FLAIR magnetic resonance.
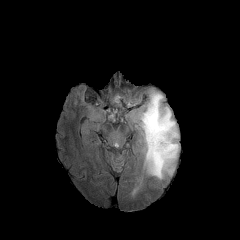
T1-weighted MR.
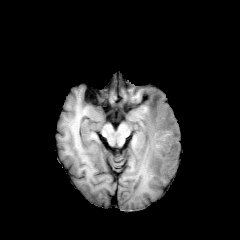
Post-contrast T1-weighted MRI.
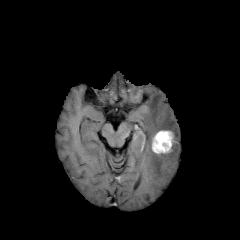
T2-weighted MR image.
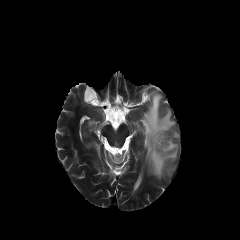
240x240.
enhancing_tumor:
  - [152,130,174,154]
peritumoral_edema:
  - [140,90,179,179]